Head. Slice 70 of 155. Axial plane.
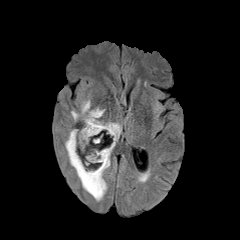
FLAIR MR image.
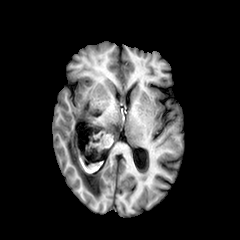
T1-weighted MRI.
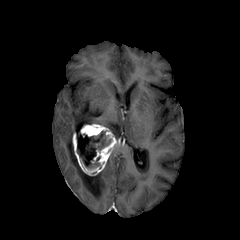
Post-contrast T1-weighted MR image.
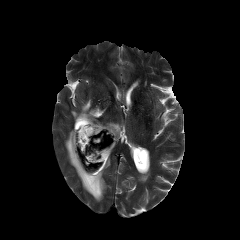
T2-weighted MR of the same slice.
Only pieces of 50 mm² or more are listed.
enhancing_tumor:
  - l=72, t=124, r=116, b=175
peritumoral_edema:
  - l=65, t=129, r=110, b=201
  - l=71, t=100, r=121, b=142
necrotic_tumor_core:
  - l=76, t=130, r=111, b=168